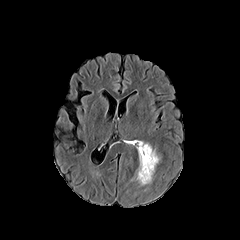
FLAIR MR image.
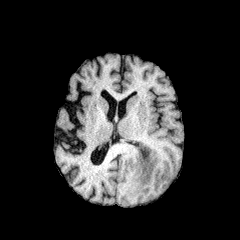
T1-weighted magnetic resonance.
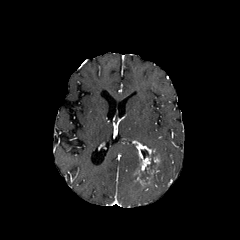
Same slice, post-contrast T1-weighted MR image.
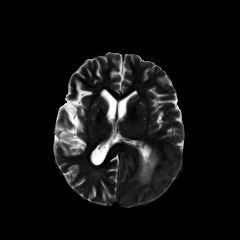
T2-weighted MRI.
Head
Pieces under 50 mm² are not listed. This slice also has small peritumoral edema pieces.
The largest necrotic tumor core region is located at (left=140, top=168, right=149, bottom=179). The largest enhancing tumor region is at (left=136, top=142, right=154, bottom=184).